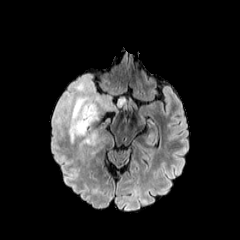
FLAIR MR.
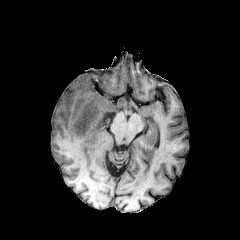
T1-weighted MR of the same slice.
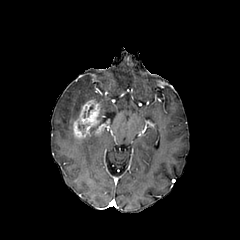
Same slice, post-contrast T1-weighted MR image.
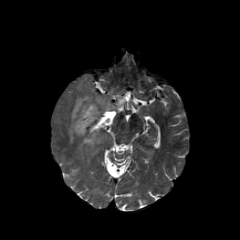
T2-weighted MR.
Head.
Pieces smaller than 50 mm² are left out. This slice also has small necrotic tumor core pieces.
<segmentation>
  <enhancing_tumor>(72, 99, 101, 139)</enhancing_tumor>
  <peritumoral_edema>(52, 73, 125, 146)</peritumoral_edema>
</segmentation>